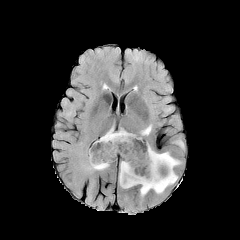
FLAIR MR image.
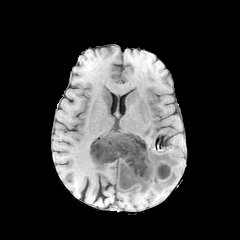
Same slice, T1-weighted MR.
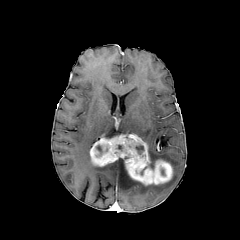
Post-contrast T1-weighted MR image of the same slice.
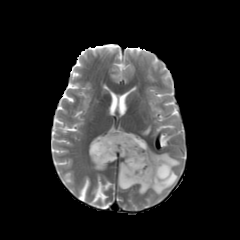
T2-weighted MR of the same slice.
Brain; Image size 240x240
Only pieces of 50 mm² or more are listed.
necrotic tumor core — bbox(136, 145, 143, 154)
enhancing tumor — bbox(90, 133, 172, 185)
peritumoral edema — bbox(103, 128, 131, 138); bbox(141, 125, 151, 135); bbox(118, 145, 180, 195); bbox(89, 157, 108, 170)